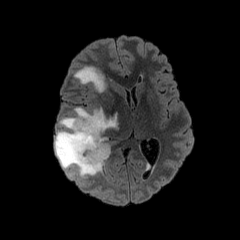
FLAIR magnetic resonance.
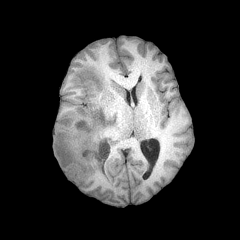
T1-weighted MR of the same slice.
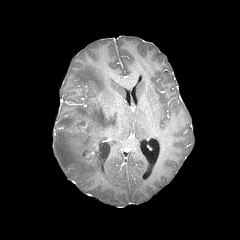
Post-contrast T1-weighted MR image.
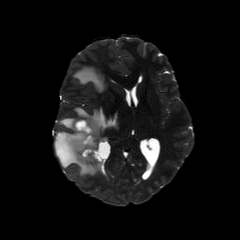
Same slice, T2-weighted MR image.
Head
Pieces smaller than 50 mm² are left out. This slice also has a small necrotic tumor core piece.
enhancing_tumor:
  - [x1=75, y1=120, x2=88, y2=131]
  - [x1=86, y1=150, x2=94, y2=158]
peritumoral_edema:
  - [x1=74, y1=66, x2=106, y2=92]
  - [x1=54, y1=107, x2=117, y2=178]